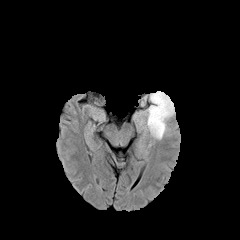
FLAIR magnetic resonance.
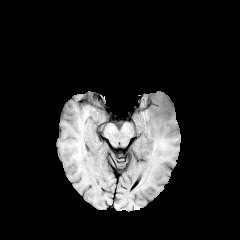
T1-weighted magnetic resonance.
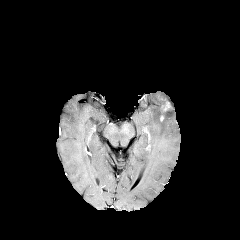
Post-contrast T1-weighted MR image.
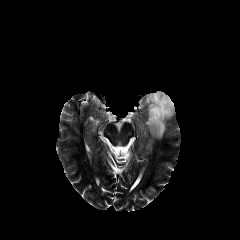
T2-weighted magnetic resonance.
Axial slice; 240x240
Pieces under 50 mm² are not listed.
enhancing tumor = [x1=161, y1=99, x2=172, y2=111]
peritumoral edema = [x1=137, y1=91, x2=175, y2=139]